FLAIR MR.
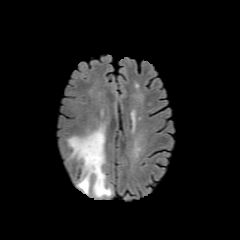
T1-weighted magnetic resonance.
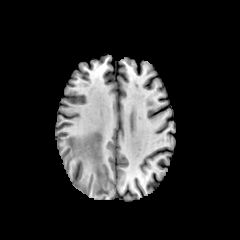
Post-contrast T1-weighted MRI.
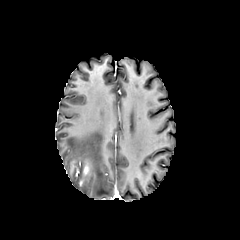
T2-weighted MR image.
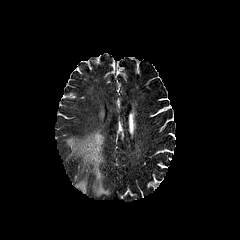
Head
peritumoral_edema:
  - bbox=[68, 127, 111, 197]
enhancing_tumor:
  - bbox=[78, 163, 90, 185]